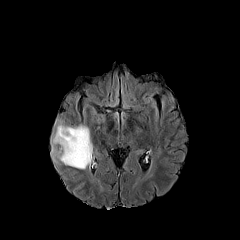
FLAIR magnetic resonance.
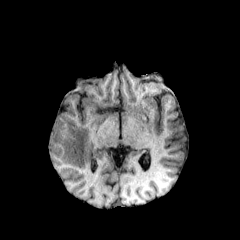
T1-weighted magnetic resonance.
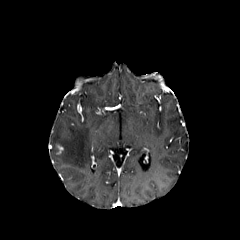
Post-contrast T1-weighted MR of the same slice.
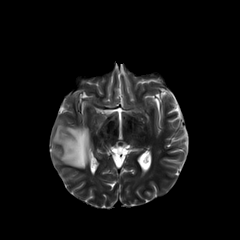
T2-weighted magnetic resonance.
Brain | Axial plane
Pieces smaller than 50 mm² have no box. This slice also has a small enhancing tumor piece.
peritumoral edema — 51:119:91:169